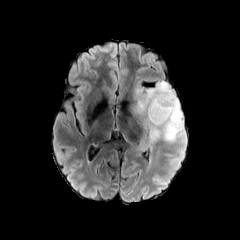
FLAIR magnetic resonance.
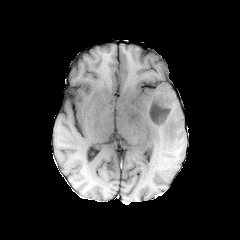
T1-weighted MR image.
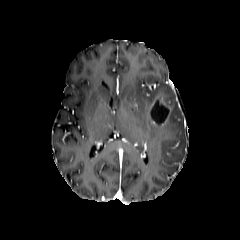
Post-contrast T1-weighted MR image of the same slice.
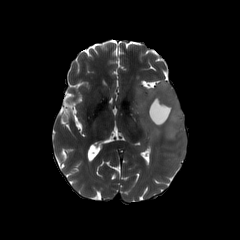
Same slice, T2-weighted MR.
Axial view
peritumoral_edema:
  - bbox=[128, 81, 184, 154]
enhancing_tumor:
  - bbox=[150, 96, 172, 111]
  - bbox=[149, 112, 168, 124]
necrotic_tumor_core:
  - bbox=[150, 100, 169, 123]